FLAIR MR image.
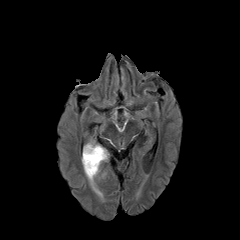
T1-weighted MRI.
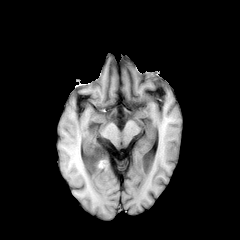
Post-contrast T1-weighted MRI.
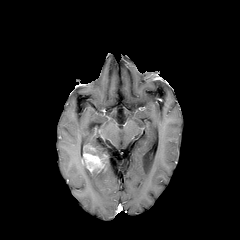
T2-weighted MRI.
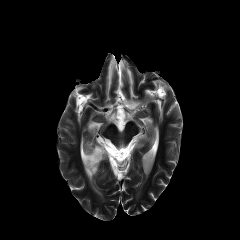
Axial slice, Brain
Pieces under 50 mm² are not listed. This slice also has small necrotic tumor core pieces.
The 2 largest peritumoral edema regions appear at 83,165,102,196; 83,139,108,157. The enhancing tumor is bounded by 82,145,107,173.